FLAIR MR image.
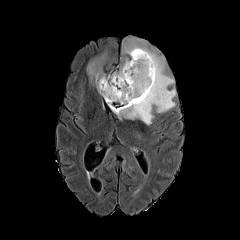
T1-weighted MR.
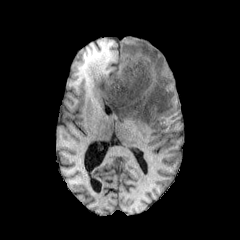
Post-contrast T1-weighted magnetic resonance.
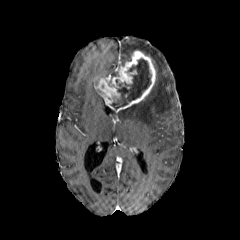
T2-weighted MRI.
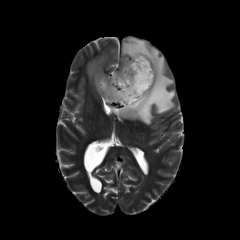
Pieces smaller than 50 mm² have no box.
enhancing tumor — left=95, top=50, right=155, bottom=112
peritumoral edema — left=111, top=36, right=176, bottom=125; left=85, top=47, right=108, bottom=86
necrotic tumor core — left=111, top=58, right=151, bottom=109